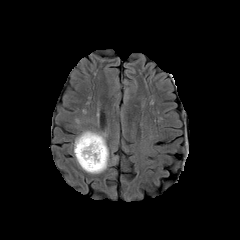
FLAIR MRI.
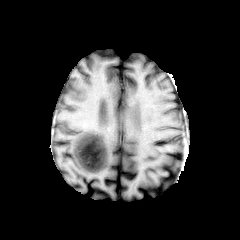
T1-weighted MR image.
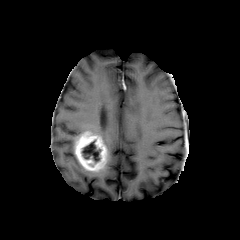
Post-contrast T1-weighted MR image.
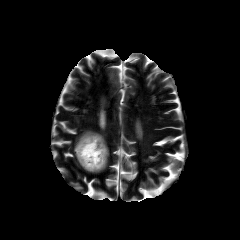
T2-weighted MRI.
Axial plane; Head
necrotic tumor core — rect(82, 140, 100, 161)
enhancing tumor — rect(74, 131, 107, 171)
peritumoral edema — rect(73, 146, 109, 173); rect(75, 130, 106, 145)